FLAIR magnetic resonance.
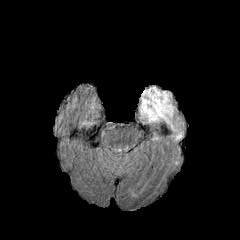
T1-weighted MRI.
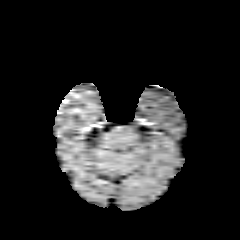
Post-contrast T1-weighted MR.
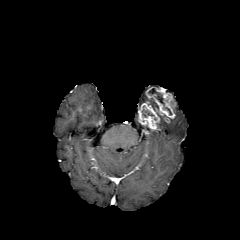
T2-weighted magnetic resonance.
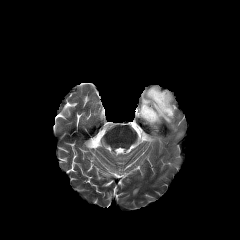
Head.
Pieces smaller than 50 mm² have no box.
{
  "necrotic_tumor_core": [
    "148, 88, 163, 104"
  ],
  "enhancing_tumor": [
    "138, 87, 175, 130"
  ],
  "peritumoral_edema": [
    "140, 90, 156, 108",
    "167, 119, 182, 139"
  ]
}